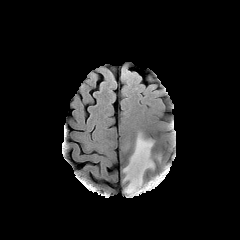
FLAIR MR image.
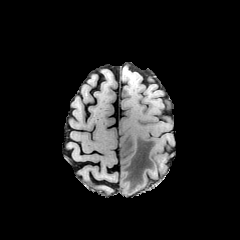
Same slice, T1-weighted magnetic resonance.
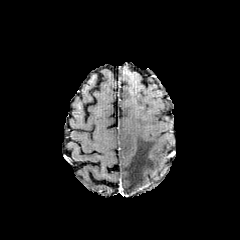
Same slice, post-contrast T1-weighted MR.
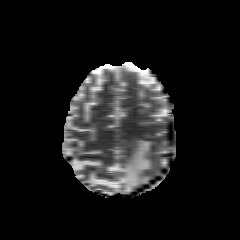
T2-weighted MR.
Brain
<segmentation>
  <peritumoral_edema>rect(145, 179, 160, 190); rect(122, 134, 154, 193)</peritumoral_edema>
</segmentation>